240x240, Axial plane, Brain
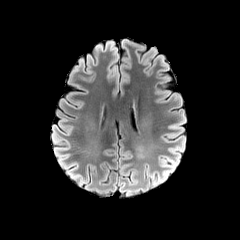
FLAIR MRI.
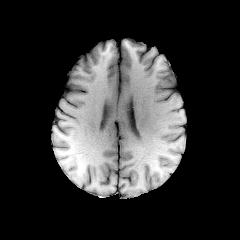
Same slice, T1-weighted MRI.
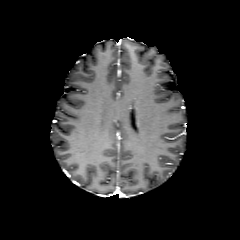
Post-contrast T1-weighted MR image of the same slice.
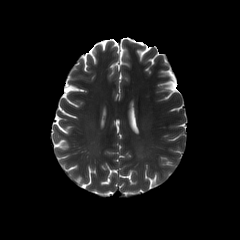
T2-weighted magnetic resonance.
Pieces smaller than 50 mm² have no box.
Findings:
• peritumoral edema: 160 159 175 168